Slice index 100, Head, 240x240 px
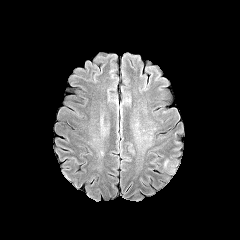
FLAIR magnetic resonance.
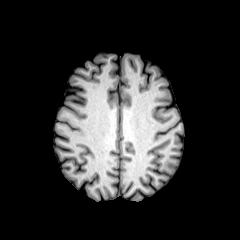
T1-weighted magnetic resonance of the same slice.
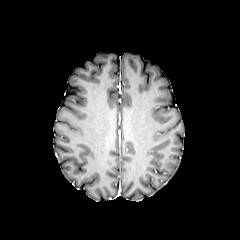
Post-contrast T1-weighted magnetic resonance of the same slice.
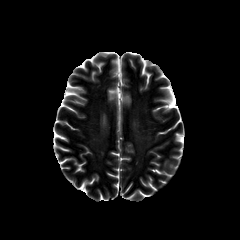
T2-weighted MR.
peritumoral edema: bounding box l=164, t=159, r=174, b=171